Axial plane | Brain | Slice 80/155
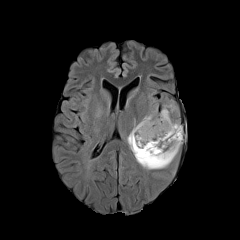
FLAIR MR image.
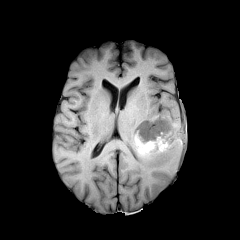
T1-weighted MR image of the same slice.
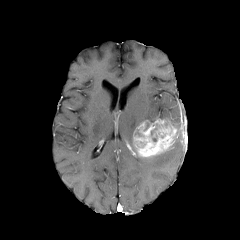
Post-contrast T1-weighted MRI.
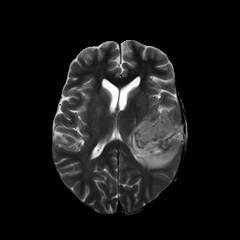
T2-weighted MR.
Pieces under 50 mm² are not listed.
{
  "enhancing_tumor": [
    "[x1=134, y1=119, x2=176, y2=156]"
  ],
  "necrotic_tumor_core": [
    "[x1=137, y1=141, x2=146, y2=148]"
  ],
  "peritumoral_edema": [
    "[x1=127, y1=99, x2=183, y2=169]",
    "[x1=93, y1=104, x2=103, y2=118]"
  ]
}